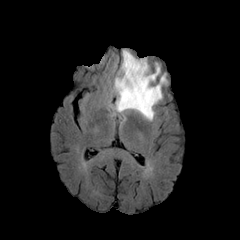
FLAIR MR.
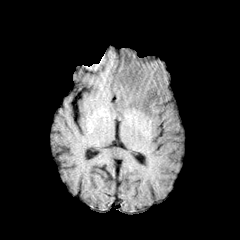
T1-weighted MR image.
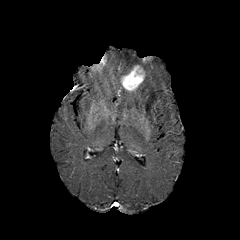
Post-contrast T1-weighted magnetic resonance of the same slice.
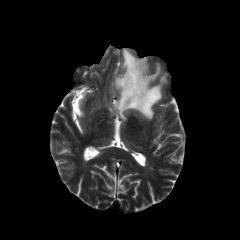
T2-weighted MR.
Axial plane
enhancing tumor: <bbox>120, 65, 145, 92</bbox> | peritumoral edema: <bbox>113, 49, 166, 120</bbox>